FLAIR MRI.
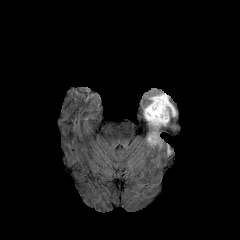
T1-weighted MRI.
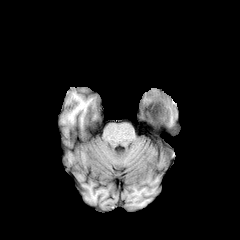
Post-contrast T1-weighted MR.
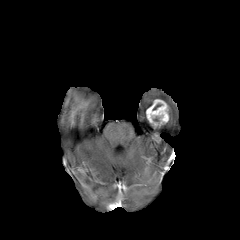
T2-weighted MR image.
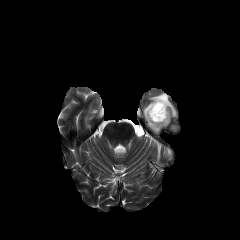
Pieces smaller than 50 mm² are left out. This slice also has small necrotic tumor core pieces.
The 2 largest peritumoral edema regions are located at rect(147, 128, 161, 146); rect(143, 93, 176, 119). 2 enhancing tumor regions are located at rect(146, 99, 169, 128); rect(152, 133, 160, 143).